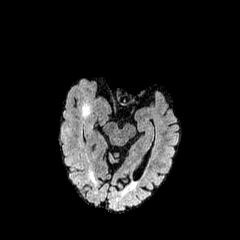
FLAIR MR image.
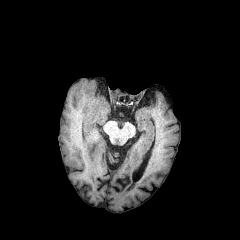
Same slice, T1-weighted MR.
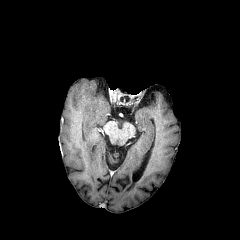
Post-contrast T1-weighted MR.
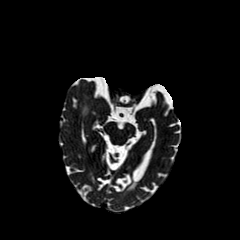
T2-weighted MR of the same slice.
The peritumoral edema is bounded by region(82, 104, 89, 117).